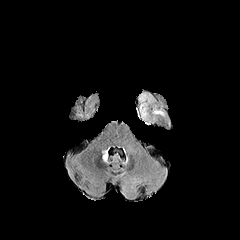
FLAIR magnetic resonance.
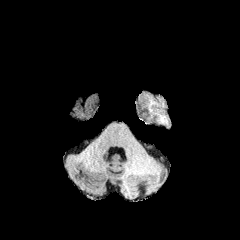
T1-weighted MRI.
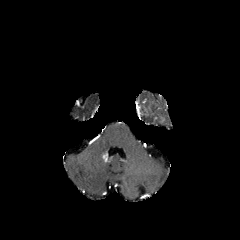
Post-contrast T1-weighted magnetic resonance.
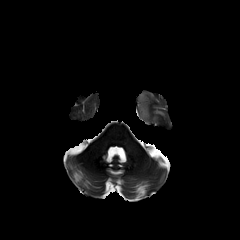
Same slice, T2-weighted magnetic resonance.
240x240; Axial slice; Brain
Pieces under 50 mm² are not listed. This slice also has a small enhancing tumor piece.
peritumoral edema at 139, 95, 148, 122